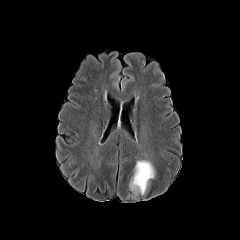
FLAIR MR image.
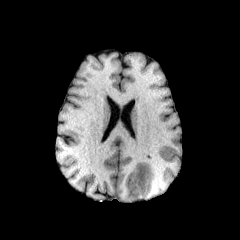
T1-weighted magnetic resonance.
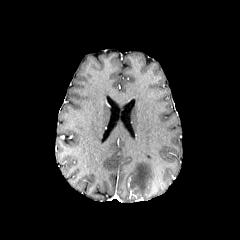
Post-contrast T1-weighted magnetic resonance.
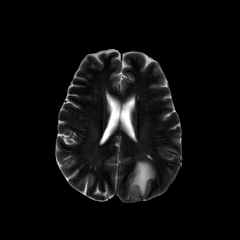
T2-weighted MR of the same slice.
Axial slice, 240x240 px
peritumoral edema = x1=130 y1=160 x2=155 y2=195